Axial plane. Head.
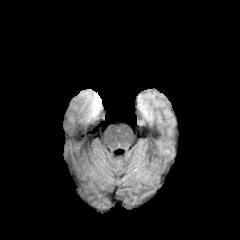
FLAIR MRI.
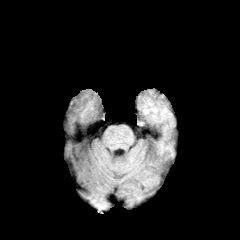
T1-weighted MR image.
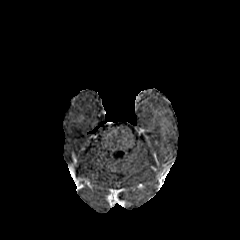
Post-contrast T1-weighted magnetic resonance of the same slice.
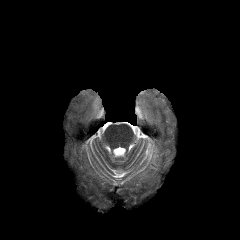
T2-weighted MR image of the same slice.
2 peritumoral edema regions are bounded by <bbox>140, 104, 150, 119</bbox>, <bbox>84, 90, 101, 120</bbox>.